Brain
FLAIR MRI.
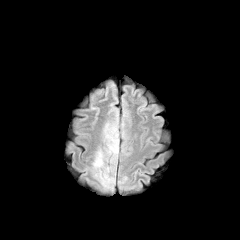
T1-weighted MR image.
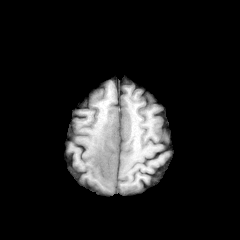
Post-contrast T1-weighted magnetic resonance.
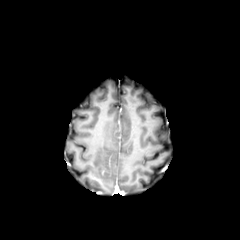
T2-weighted MR image.
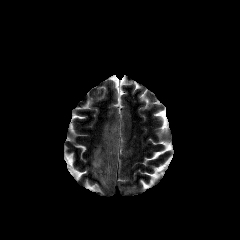
2 peritumoral edema regions appear at box(93, 148, 114, 187); box(104, 121, 119, 156).